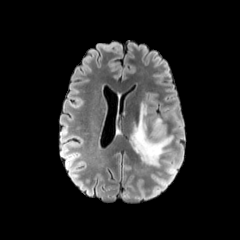
FLAIR MRI.
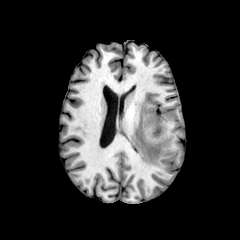
T1-weighted MRI.
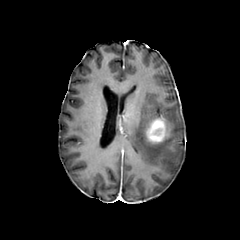
Post-contrast T1-weighted magnetic resonance.
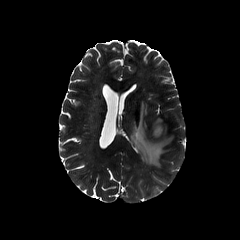
T2-weighted magnetic resonance.
Axial slice, Head
The peritumoral edema is bounded by 131 102 173 166. The enhancing tumor is bounded by 145 117 166 144.